FLAIR MR.
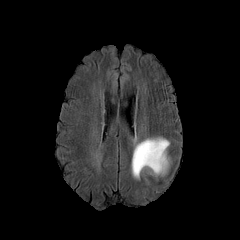
T1-weighted MR image.
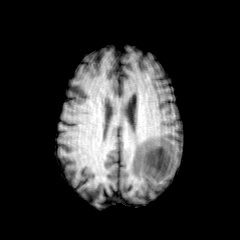
Post-contrast T1-weighted magnetic resonance.
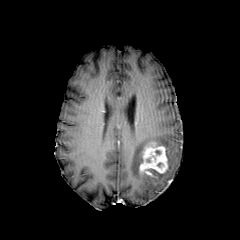
T2-weighted MR.
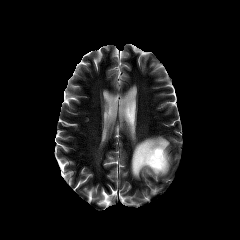
Image size 240x240. Axial view.
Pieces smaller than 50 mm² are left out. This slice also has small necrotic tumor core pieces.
enhancing tumor: x1=139 y1=142 x2=168 y2=175 | peritumoral edema: x1=131 y1=136 x2=170 y2=179, x1=150 y1=168 x2=168 y2=176